FLAIR MR image.
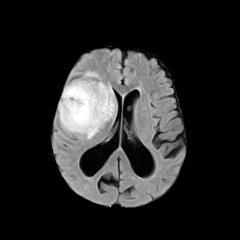
T1-weighted MR image.
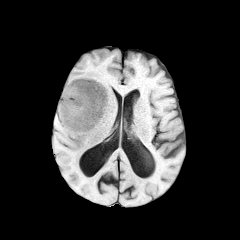
Post-contrast T1-weighted MR.
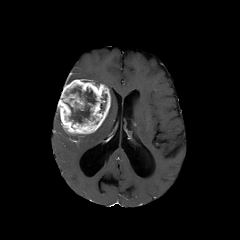
T2-weighted MRI.
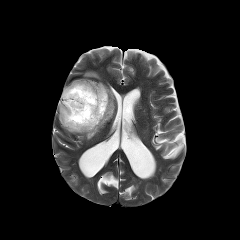
Head.
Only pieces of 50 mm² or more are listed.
<segmentation>
  <enhancing_tumor>x1=58, y1=79, x2=110, y2=134</enhancing_tumor>
  <peritumoral_edema>x1=84, y1=71, x2=99, y2=78; x1=76, y1=85, x2=115, y2=139</peritumoral_edema>
  <necrotic_tumor_core>x1=83, y1=90, x2=95, y2=103; x1=71, y1=87, x2=81, y2=96; x1=66, y1=103, x2=90, y2=123</necrotic_tumor_core>
</segmentation>